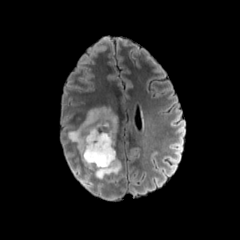
FLAIR MRI.
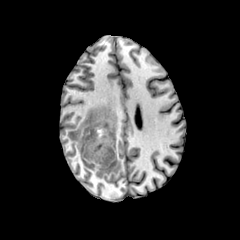
T1-weighted magnetic resonance.
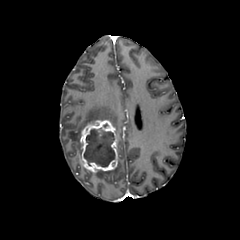
Post-contrast T1-weighted MR image.
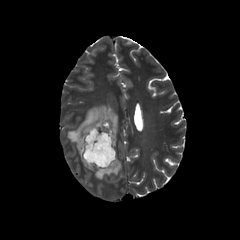
T2-weighted MR image of the same slice.
Image size 240x240; Axial view
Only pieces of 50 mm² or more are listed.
enhancing tumor: bounding box 79 120 117 172
necrotic tumor core: bounding box 84 128 115 167
peritumoral edema: bounding box 67 106 117 152, 94 159 121 179